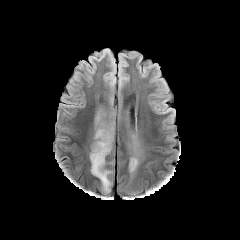
FLAIR MR image.
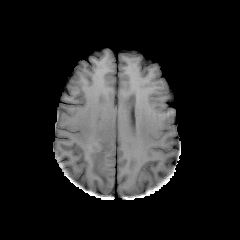
T1-weighted magnetic resonance.
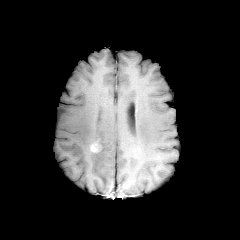
Post-contrast T1-weighted magnetic resonance.
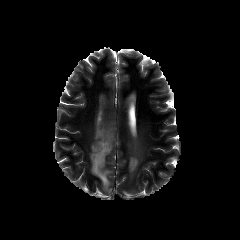
T2-weighted magnetic resonance of the same slice.
Head | Image size 240x240
peritumoral_edema:
  - <box>129,157,138,172</box>
  - <box>90,119,113,191</box>
enhancing_tumor:
  - <box>91,144,98,152</box>